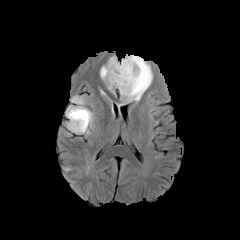
FLAIR MR image.
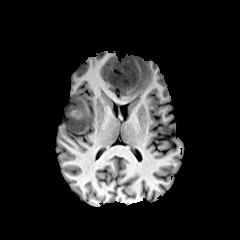
T1-weighted MR image.
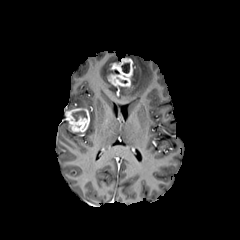
Post-contrast T1-weighted MR image of the same slice.
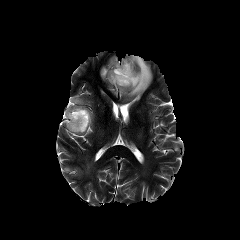
Same slice, T2-weighted MR.
Head. Axial slice.
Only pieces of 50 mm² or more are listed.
necrotic_tumor_core:
  - bbox(72, 111, 86, 120)
  - bbox(121, 63, 129, 73)
peritumoral_edema:
  - bbox(120, 55, 152, 101)
  - bbox(100, 56, 118, 91)
  - bbox(66, 96, 84, 110)
enhancing_tumor:
  - bbox(65, 108, 89, 132)
  - bbox(107, 57, 134, 87)